240x240; Axial slice
FLAIR magnetic resonance.
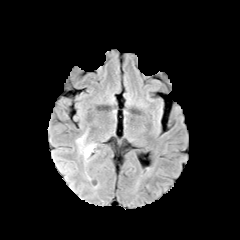
T1-weighted magnetic resonance.
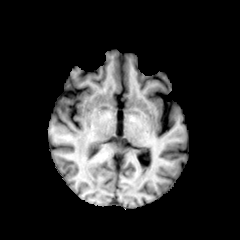
Post-contrast T1-weighted MR image.
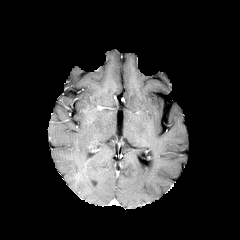
T2-weighted MR image.
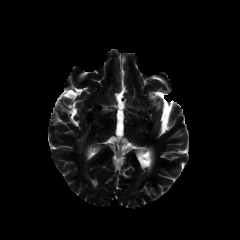
Annotated regions:
- peritumoral edema: 77:134:95:157